Slice index 54
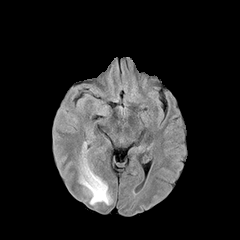
FLAIR MRI.
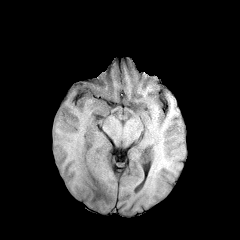
T1-weighted MRI.
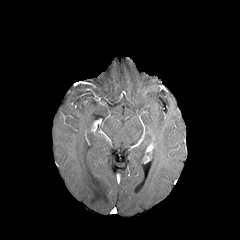
Post-contrast T1-weighted MR image.
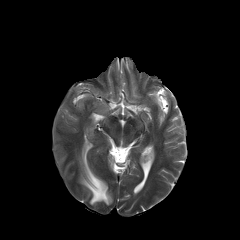
Same slice, T2-weighted MR.
peritumoral_edema:
  - 79, 142, 111, 204